FLAIR MRI.
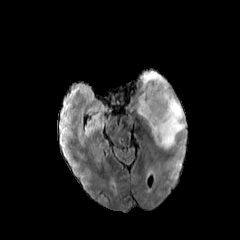
T1-weighted MR image.
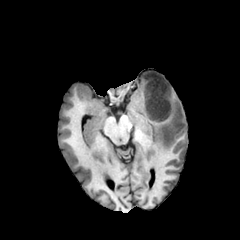
Post-contrast T1-weighted magnetic resonance.
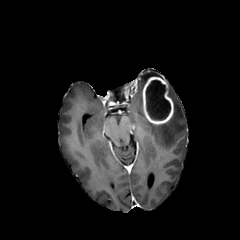
T2-weighted MRI.
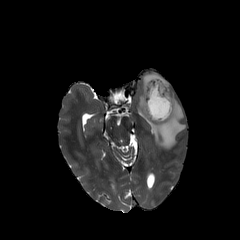
Axial view
The necrotic tumor core appears at (left=146, top=80, right=170, bottom=120). The enhancing tumor is at (left=142, top=76, right=173, bottom=124). 3 peritumoral edema regions are bounded by (left=141, top=71, right=162, bottom=90), (left=138, top=95, right=145, bottom=118), (left=148, top=87, right=185, bottom=148).